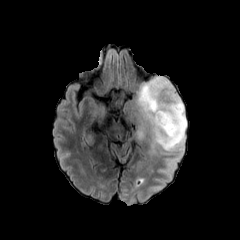
FLAIR magnetic resonance.
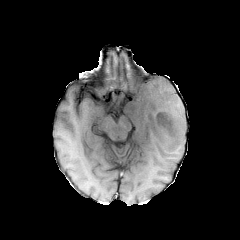
Same slice, T1-weighted magnetic resonance.
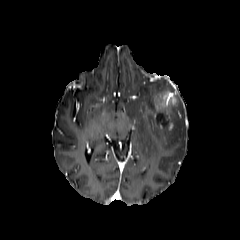
Post-contrast T1-weighted MRI of the same slice.
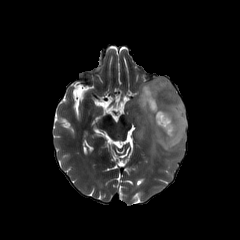
T2-weighted magnetic resonance.
Brain, Axial slice
{
  "enhancing_tumor": [
    "152 90 178 131"
  ],
  "necrotic_tumor_core": [
    "157 112 167 125"
  ],
  "peritumoral_edema": [
    "131 76 186 153"
  ]
}